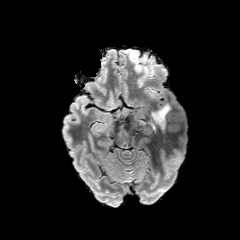
FLAIR MR.
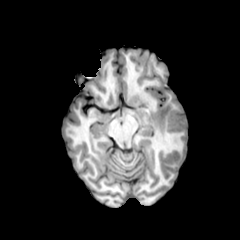
Same slice, T1-weighted magnetic resonance.
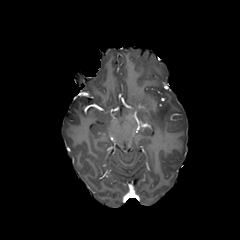
Post-contrast T1-weighted magnetic resonance of the same slice.
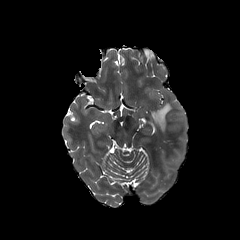
T2-weighted MR image.
Brain.
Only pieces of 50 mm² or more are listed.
Annotated regions:
• peritumoral edema: 151,104,170,130